FLAIR MR.
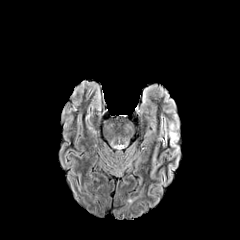
T1-weighted magnetic resonance.
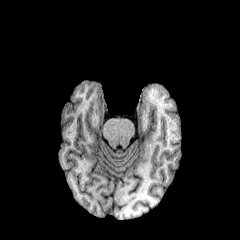
Post-contrast T1-weighted MR image.
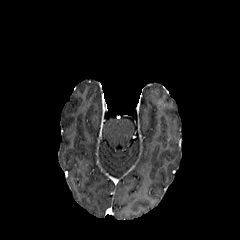
T2-weighted MRI.
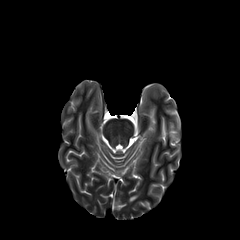
Axial plane
{"peritumoral_edema": [{"x1": 169, "y1": 124, "x2": 177, "y2": 142}]}